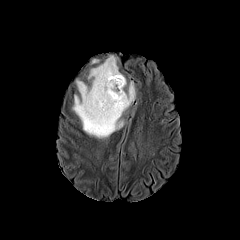
FLAIR MR image.
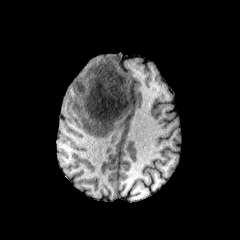
Same slice, T1-weighted magnetic resonance.
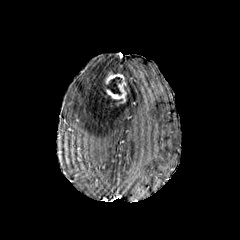
Post-contrast T1-weighted MR image.
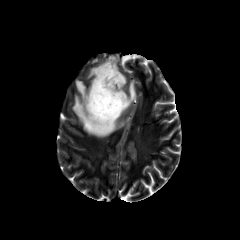
T2-weighted MR image.
240x240 px | Axial plane
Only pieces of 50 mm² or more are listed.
The largest necrotic tumor core region is at box(101, 70, 122, 105). The largest peritumoral edema region appears at box(72, 55, 136, 138). The enhancing tumor appears at box(105, 72, 126, 103).